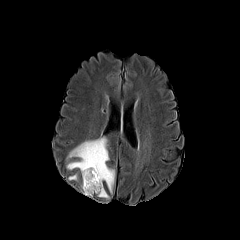
FLAIR MRI.
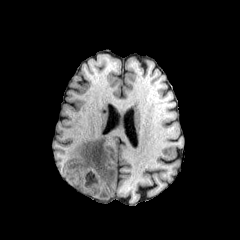
T1-weighted MR image.
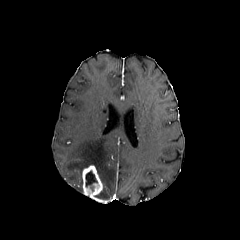
Same slice, post-contrast T1-weighted MRI.
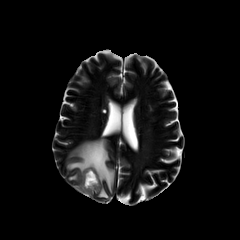
Same slice, T2-weighted MR.
Axial slice
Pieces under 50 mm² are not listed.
necrotic tumor core — (x1=85, y1=170, x2=97, y2=186)
peritumoral edema — (x1=66, y1=137, x2=114, y2=193), (x1=97, y1=187, x2=109, y2=198)
enhancing tumor — (x1=82, y1=165, x2=102, y2=197)